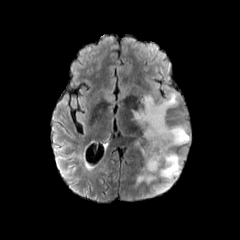
FLAIR MRI.
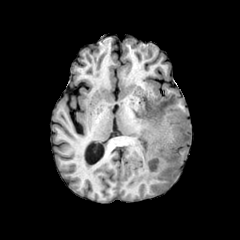
T1-weighted MRI.
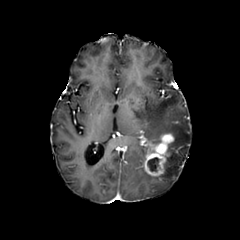
Post-contrast T1-weighted MR image of the same slice.
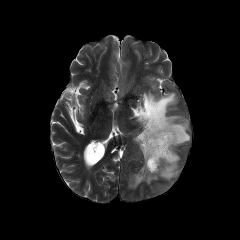
T2-weighted MRI of the same slice.
Brain.
enhancing tumor: [144, 132, 174, 177] | peritumoral edema: [131, 93, 190, 193], [136, 166, 157, 184], [135, 139, 146, 161] | necrotic tumor core: [147, 157, 159, 171]